Image width 240 mm, Head
FLAIR MR image.
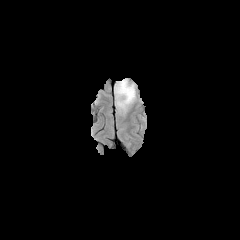
T1-weighted MR image.
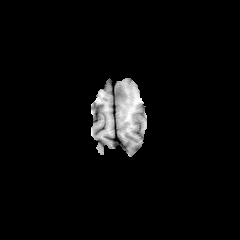
Post-contrast T1-weighted magnetic resonance.
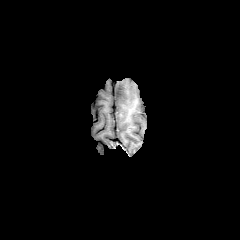
T2-weighted MR.
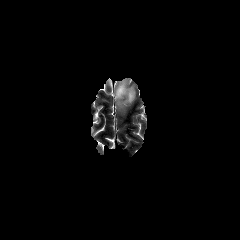
peritumoral edema: x1=115 y1=79 x2=135 y2=110
necrotic tumor core: x1=117 y1=84 x2=123 y2=97